FLAIR MR image.
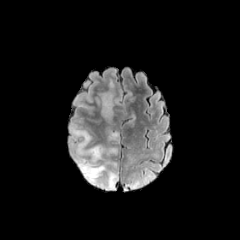
T1-weighted MR image.
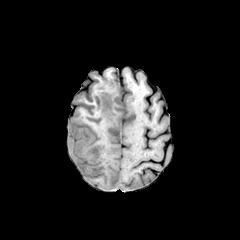
Post-contrast T1-weighted MR image.
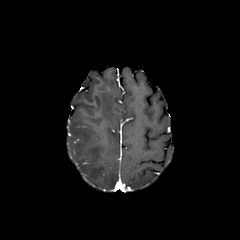
T2-weighted MRI.
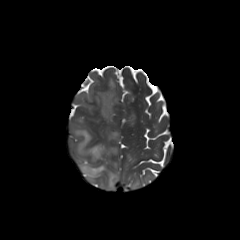
Head.
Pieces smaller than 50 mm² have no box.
{"peritumoral_edema": ["x1=70 y1=123 x2=118 y2=189", "x1=127 y1=179 x2=142 y2=188", "x1=102 y1=93 x2=113 y2=118", "x1=109 y1=132 x2=118 y2=139"]}